Head. Image covers 240 mm x 240 mm. Axial view.
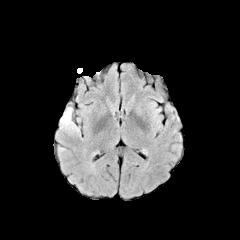
FLAIR MRI.
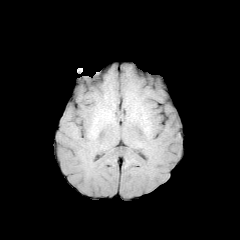
T1-weighted MRI.
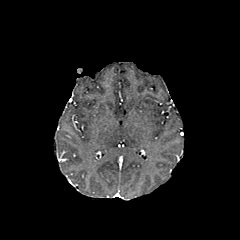
Same slice, post-contrast T1-weighted MR image.
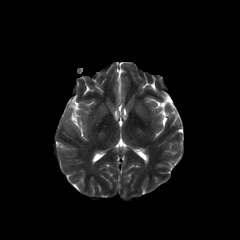
Same slice, T2-weighted MRI.
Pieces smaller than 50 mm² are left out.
<segmentation>
  <peritumoral_edema>(left=59, top=107, right=79, bottom=133)</peritumoral_edema>
</segmentation>